Brain. Slice 96/155. Axial plane.
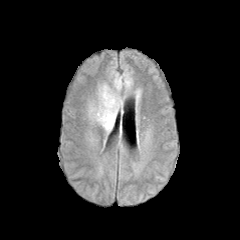
FLAIR magnetic resonance.
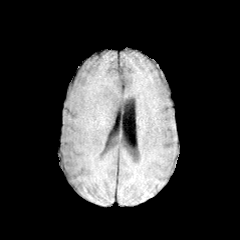
T1-weighted MR of the same slice.
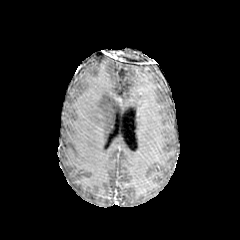
Same slice, post-contrast T1-weighted magnetic resonance.
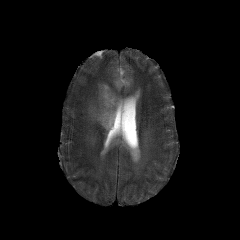
Same slice, T2-weighted magnetic resonance.
peritumoral edema at 123, 72, 132, 88; 88, 72, 123, 132